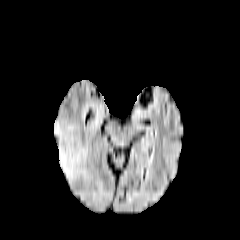
FLAIR MR image.
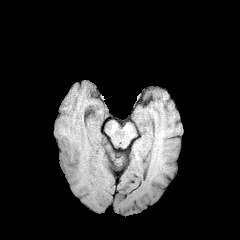
T1-weighted MRI.
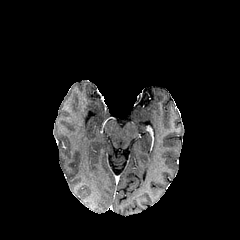
Post-contrast T1-weighted MR image of the same slice.
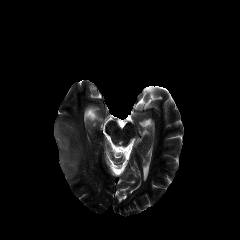
Same slice, T2-weighted MR.
Axial slice | Brain
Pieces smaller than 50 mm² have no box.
<segmentation>
  <peritumoral_edema>region(54, 121, 87, 178); region(91, 106, 101, 128)</peritumoral_edema>
</segmentation>